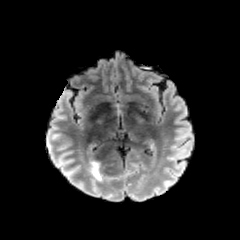
FLAIR magnetic resonance.
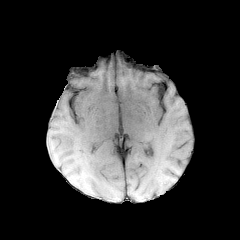
T1-weighted MR.
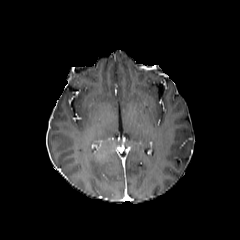
Post-contrast T1-weighted MR of the same slice.
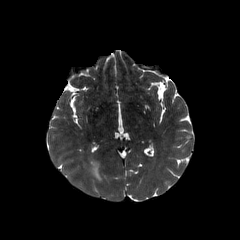
T2-weighted MRI.
Image size 240x240, Brain
peritumoral_edema:
  - <box>89,160,102,181</box>